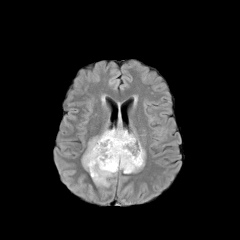
FLAIR MRI.
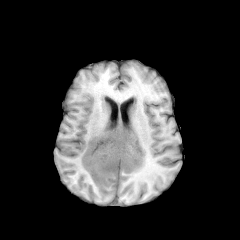
Same slice, T1-weighted MR.
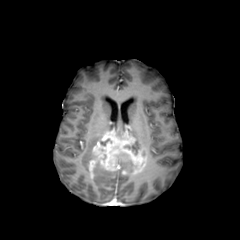
Post-contrast T1-weighted magnetic resonance.
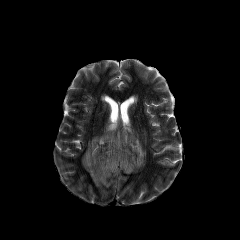
T2-weighted MR image of the same slice.
Head.
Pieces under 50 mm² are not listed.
{
  "enhancing_tumor": [
    "x1=88 y1=129 x2=144 y2=177"
  ],
  "peritumoral_edema": [
    "x1=92 y1=163 x2=117 y2=187",
    "x1=82 y1=130 x2=111 y2=170",
    "x1=113 y1=118 x2=126 y2=136"
  ],
  "necrotic_tumor_core": [
    "x1=124 y1=141 x2=141 y2=154",
    "x1=118 y1=159 x2=136 y2=171"
  ]
}